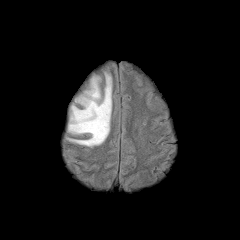
FLAIR magnetic resonance.
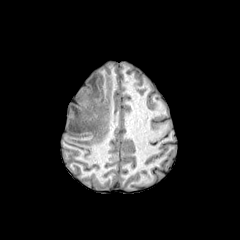
T1-weighted MRI of the same slice.
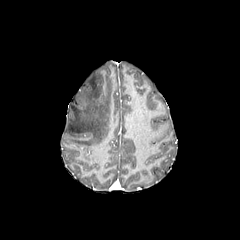
Post-contrast T1-weighted MR image of the same slice.
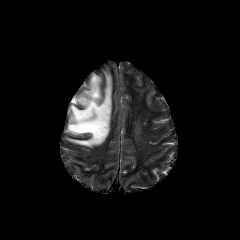
Same slice, T2-weighted magnetic resonance.
240x240 px; Brain
The peritumoral edema lies within (x1=67, y1=72, x2=112, y2=147).